FLAIR magnetic resonance.
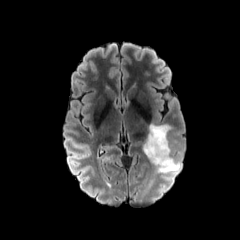
T1-weighted MRI.
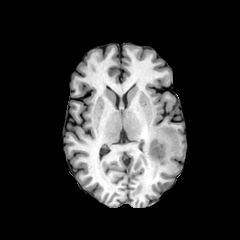
Post-contrast T1-weighted MR image.
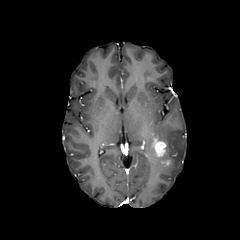
T2-weighted MRI.
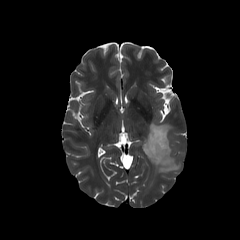
Image size 240x240, Brain, Axial slice
peritumoral edema at 144,123,181,178
enhancing tumor at 150,138,170,165